FLAIR MR.
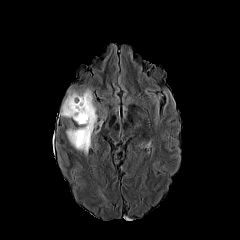
T1-weighted magnetic resonance.
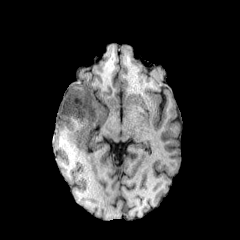
Post-contrast T1-weighted magnetic resonance.
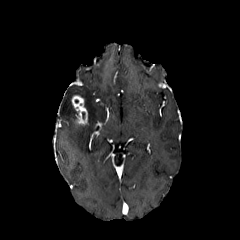
T2-weighted MR image.
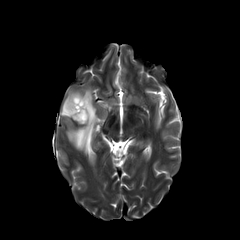
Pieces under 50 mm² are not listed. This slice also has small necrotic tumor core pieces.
The enhancing tumor lies within <box>71,95,87,124</box>. The peritumoral edema lies within <box>60,89,97,154</box>.